Head
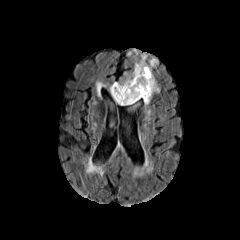
FLAIR MR image.
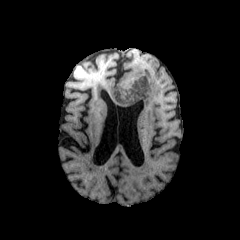
Same slice, T1-weighted MR image.
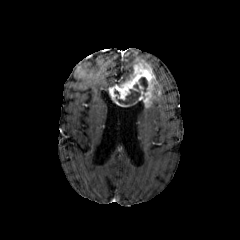
Post-contrast T1-weighted MRI of the same slice.
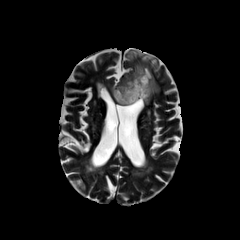
Same slice, T2-weighted magnetic resonance.
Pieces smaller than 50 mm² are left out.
enhancing_tumor:
  - <box>109,60,159,107</box>
necrotic_tumor_core:
  - <box>139,77,147,91</box>
  - <box>117,89,140,104</box>
peritumoral_edema:
  - <box>109,72,132,87</box>
  - <box>133,54,147,71</box>
  - <box>146,57,157,68</box>